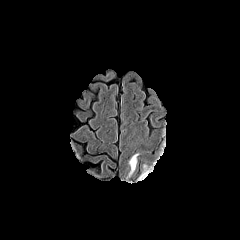
FLAIR magnetic resonance.
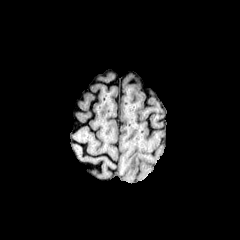
T1-weighted MR image of the same slice.
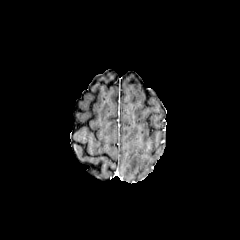
Post-contrast T1-weighted MR.
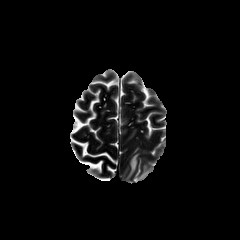
T2-weighted MR.
peritumoral edema: bounding box (x1=138, y1=165, x2=151, y2=180), (x1=127, y1=154, x2=138, y2=178)